FLAIR MRI.
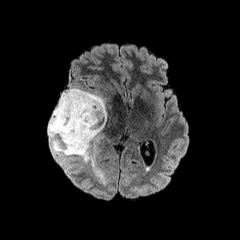
T1-weighted MRI.
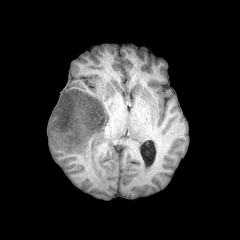
Post-contrast T1-weighted magnetic resonance.
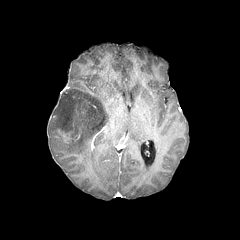
T2-weighted MR image.
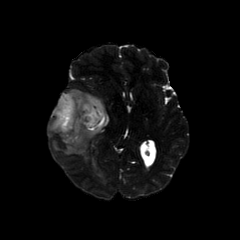
Image size 240x240, Head, Axial view
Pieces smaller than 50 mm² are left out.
The largest peritumoral edema region is bounded by (48, 88, 107, 162). The enhancing tumor is at (56, 128, 80, 143).